FLAIR MRI.
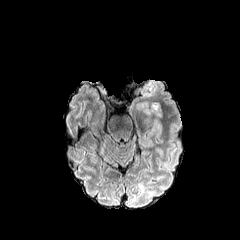
T1-weighted magnetic resonance.
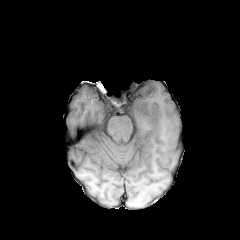
Post-contrast T1-weighted MRI.
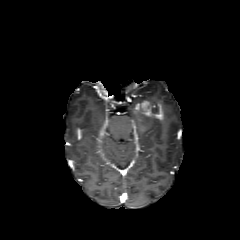
T2-weighted MRI.
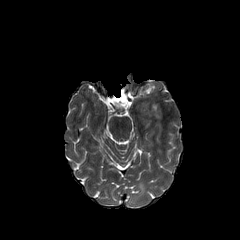
Brain. Axial view.
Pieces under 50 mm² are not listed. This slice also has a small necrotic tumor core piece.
The enhancing tumor is located at rect(134, 101, 163, 119).